FLAIR MR image.
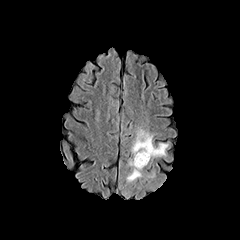
T1-weighted MR.
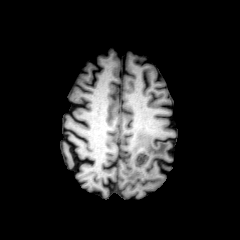
Post-contrast T1-weighted MR image.
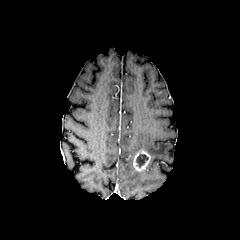
T2-weighted magnetic resonance.
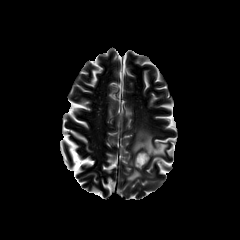
240x240 px
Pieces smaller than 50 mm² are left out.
enhancing tumor: bounding box 133 150 150 171
peritumoral edema: bounding box 126 167 142 183, 131 129 168 156
necrotic tumor core: bounding box 136 154 148 167